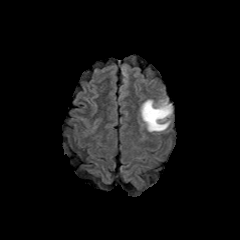
FLAIR MRI.
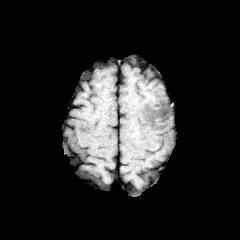
T1-weighted magnetic resonance.
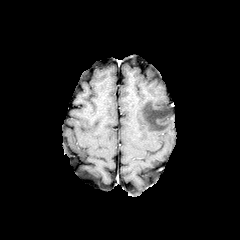
Same slice, post-contrast T1-weighted MRI.
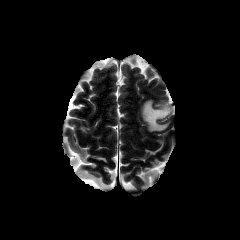
T2-weighted magnetic resonance.
The peritumoral edema is at 140, 99, 172, 131.